Slice index 126; Image size 240x240; Brain; Axial slice
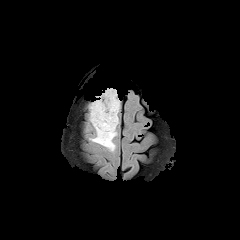
FLAIR MRI.
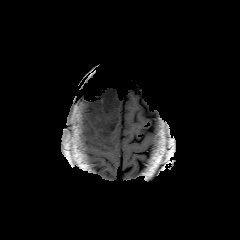
T1-weighted MR image.
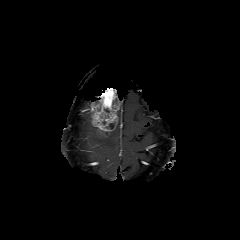
Post-contrast T1-weighted magnetic resonance of the same slice.
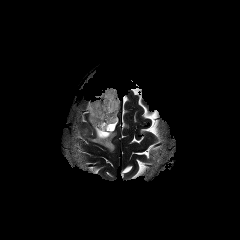
T2-weighted MR.
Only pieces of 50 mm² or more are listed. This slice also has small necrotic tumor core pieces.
{"enhancing_tumor": [{"x1": 88, "y1": 88, "x2": 119, "y2": 137}], "peritumoral_edema": [{"x1": 89, "y1": 127, "x2": 117, "y2": 151}]}